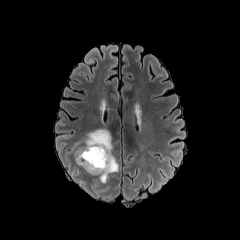
FLAIR MR image.
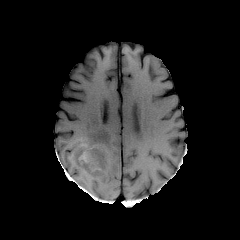
Same slice, T1-weighted MR.
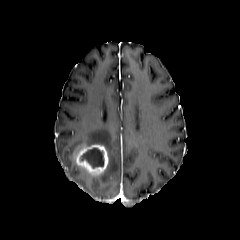
Post-contrast T1-weighted MRI.
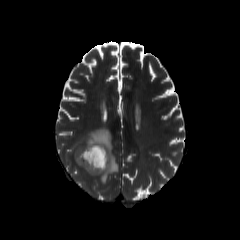
T2-weighted MRI of the same slice.
240x240; Axial view; Head
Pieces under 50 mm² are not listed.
enhancing tumor — 75,144,108,175
peritumoral edema — 71,128,118,182
necrotic tumor core — 81,148,103,167